FLAIR magnetic resonance.
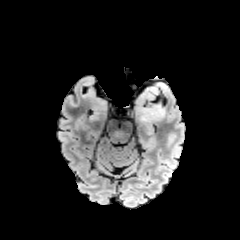
T1-weighted MRI.
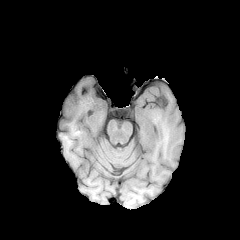
Post-contrast T1-weighted MR.
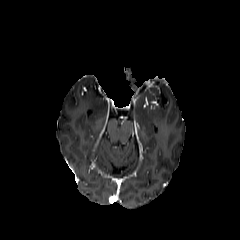
T2-weighted MR image.
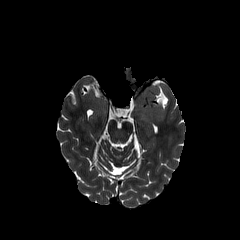
Image size 240x240. Axial view.
peritumoral edema: {"x1": 134, "y1": 83, "x2": 167, "y2": 120}